Brain; Image width 240 mm, 1.00 mm slice spacing; Image size 240x240
FLAIR magnetic resonance.
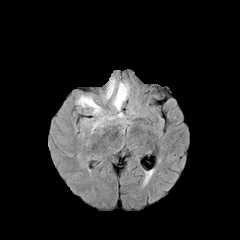
T1-weighted MR image.
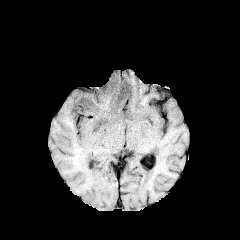
Post-contrast T1-weighted MR.
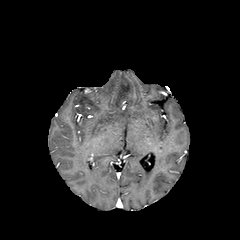
T2-weighted MR image.
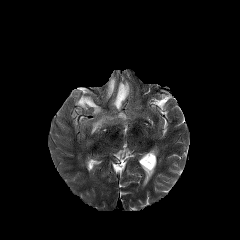
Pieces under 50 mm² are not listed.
peritumoral edema = (76, 78, 129, 131)